Slice index 46, Image width 240 mm, 1.00 mm slice spacing
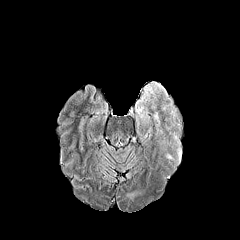
FLAIR MRI.
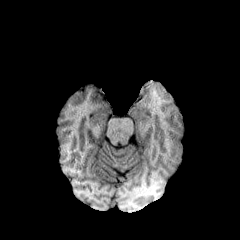
T1-weighted magnetic resonance of the same slice.
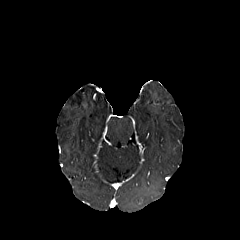
Post-contrast T1-weighted MR.
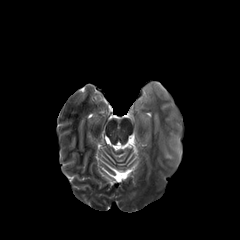
Same slice, T2-weighted magnetic resonance.
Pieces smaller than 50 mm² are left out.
Annotated regions:
• peritumoral edema: (x1=135, y1=82, x2=162, y2=126), (x1=173, y1=133, x2=181, y2=162)